Slice 96/155. Brain. Axial view.
FLAIR MRI.
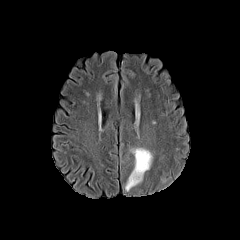
T1-weighted magnetic resonance.
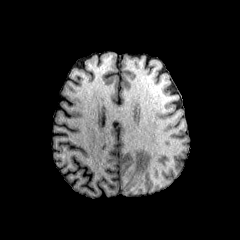
Post-contrast T1-weighted magnetic resonance.
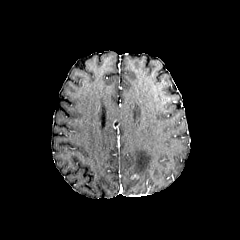
T2-weighted MRI.
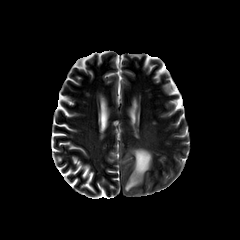
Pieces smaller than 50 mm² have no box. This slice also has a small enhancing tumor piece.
The largest peritumoral edema region is at l=125, t=148, r=152, b=191.